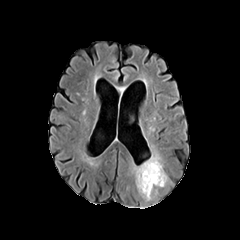
FLAIR magnetic resonance.
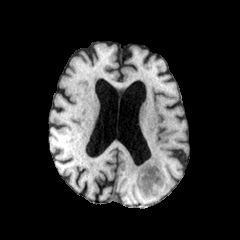
T1-weighted MRI.
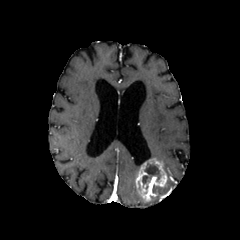
Same slice, post-contrast T1-weighted MR image.
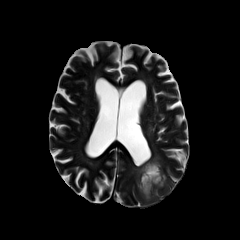
T2-weighted MR of the same slice.
Head; Axial plane
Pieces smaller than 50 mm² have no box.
* peritumoral edema: [x1=150, y1=149, x2=162, y2=160], [x1=130, y1=165, x2=139, y2=178]
* necrotic tumor core: [x1=144, y1=163, x2=161, y2=182]
* enhancing tumor: [x1=135, y1=158, x2=167, y2=201]